FLAIR magnetic resonance.
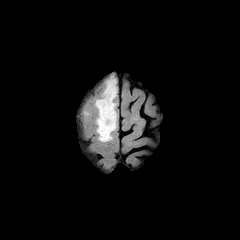
T1-weighted MRI.
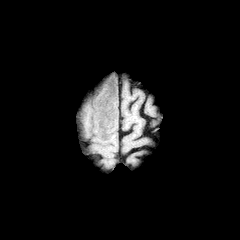
Post-contrast T1-weighted MR image.
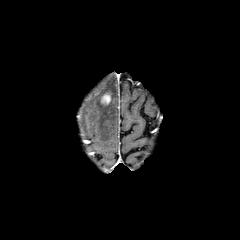
T2-weighted MRI.
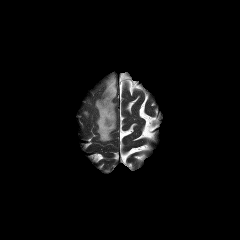
Axial plane; Brain
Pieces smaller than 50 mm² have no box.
enhancing tumor — (101,93,111,104)
peritumoral edema — (95,76,116,141)